240x240 px; Image covers 240 mm x 240 mm; Slice index 79; Axial plane; Brain
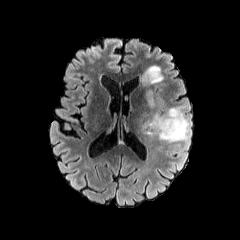
FLAIR MR image.
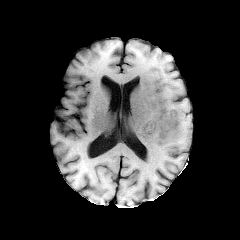
T1-weighted MRI.
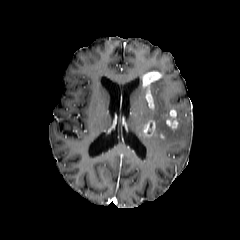
Same slice, post-contrast T1-weighted MR.
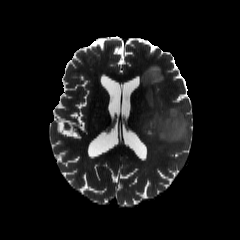
T2-weighted magnetic resonance of the same slice.
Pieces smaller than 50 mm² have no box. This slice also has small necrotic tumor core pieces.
enhancing tumor — (143, 120, 156, 137), (166, 109, 178, 129), (142, 71, 161, 109)
peritumoral edema — (142, 90, 191, 143), (143, 65, 161, 74)